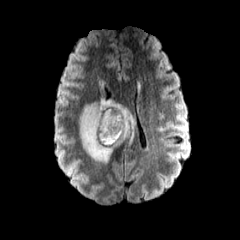
FLAIR MR image.
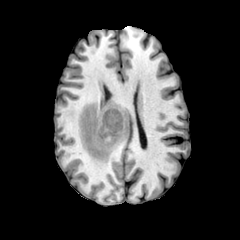
T1-weighted MR image.
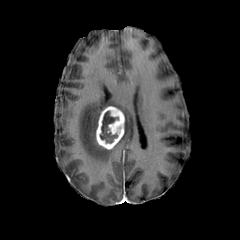
Post-contrast T1-weighted MR.
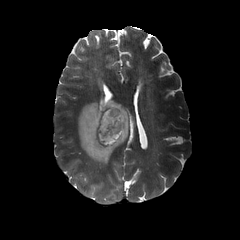
T2-weighted MRI of the same slice.
240x240.
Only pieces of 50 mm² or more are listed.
necrotic tumor core at <bbox>100, 110, 118, 143</bbox>
peritumoral edema at <bbox>79, 79, 136, 163</bbox>
enhancing tumor at <bbox>95, 106, 124, 149</bbox>